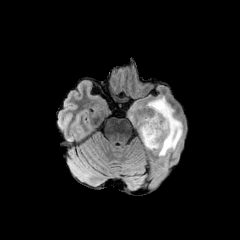
FLAIR MRI.
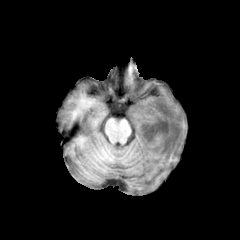
T1-weighted MR of the same slice.
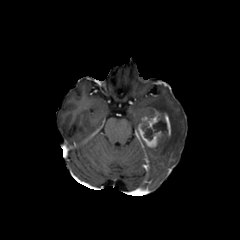
Same slice, post-contrast T1-weighted MR.
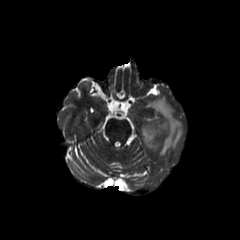
T2-weighted MR image of the same slice.
Brain | Axial view | Image size 240x240
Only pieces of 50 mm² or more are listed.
{"necrotic_tumor_core": ["153,118,167,134", "144,128,152,139"], "peritumoral_edema": ["144,96,183,156"], "enhancing_tumor": ["137,109,171,147"]}